Slice index 134.
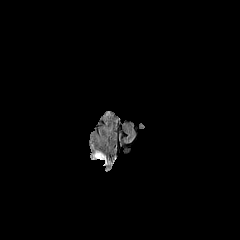
FLAIR magnetic resonance.
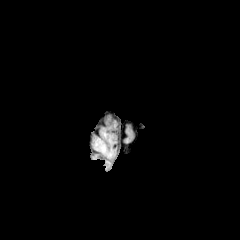
Same slice, T1-weighted MR.
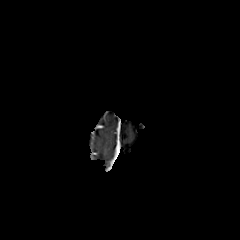
Same slice, post-contrast T1-weighted magnetic resonance.
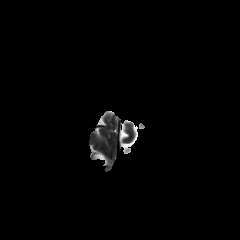
T2-weighted MR of the same slice.
peritumoral edema — 95, 153, 106, 163